Head | Slice index 57 | Axial plane
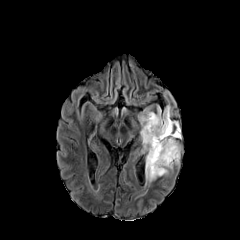
FLAIR MR image.
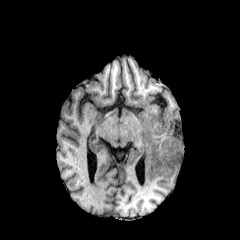
T1-weighted MRI of the same slice.
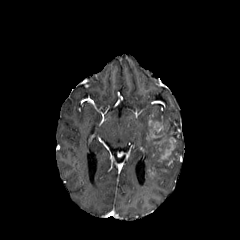
Same slice, post-contrast T1-weighted magnetic resonance.
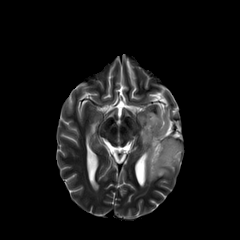
Same slice, T2-weighted magnetic resonance.
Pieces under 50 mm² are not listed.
The largest peritumoral edema region lies within 139, 106, 180, 182. The 2 largest enhancing tumor regions are bounded by 146, 117, 164, 140; 154, 137, 176, 161. The largest necrotic tumor core region is bounded by 148, 121, 178, 175.